FLAIR MR.
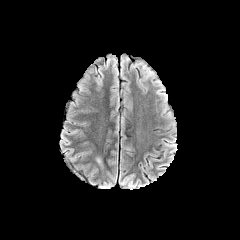
T1-weighted MR.
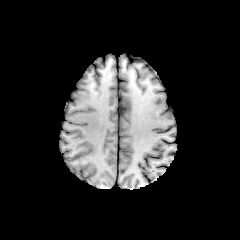
Post-contrast T1-weighted MR image.
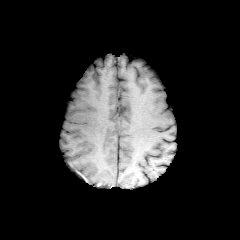
T2-weighted magnetic resonance.
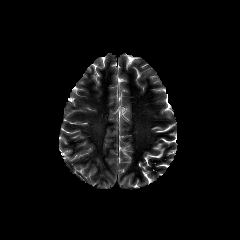
Head.
Segmented structures:
• peritumoral edema: box(96, 157, 104, 168)